240x240
FLAIR MRI.
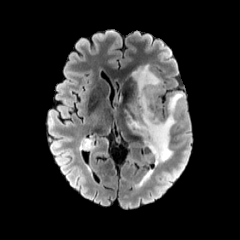
T1-weighted MR image.
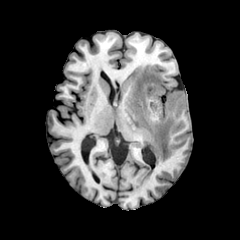
Post-contrast T1-weighted MRI.
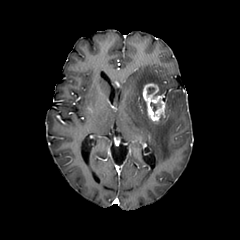
T2-weighted magnetic resonance.
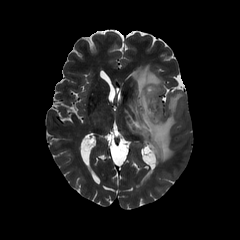
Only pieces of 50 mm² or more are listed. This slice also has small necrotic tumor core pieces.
{"peritumoral_edema": ["[127,64,184,164]"], "enhancing_tumor": ["[142,83,165,122]"]}